FLAIR magnetic resonance.
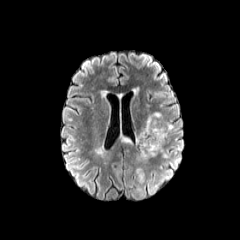
T1-weighted MR.
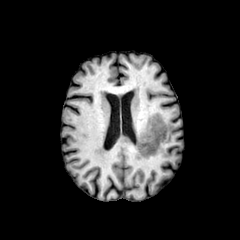
Post-contrast T1-weighted MR.
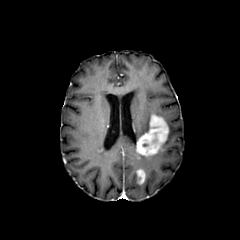
T2-weighted MR image.
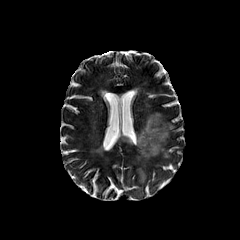
Brain.
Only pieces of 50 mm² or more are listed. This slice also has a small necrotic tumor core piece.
<segmentation>
  <peritumoral_edema><box>157,148,169,158</box>, <box>136,116,150,145</box></peritumoral_edema>
  <enhancing_tumor><box>137,169,145,183</box>, <box>136,114,168,156</box></enhancing_tumor>
</segmentation>